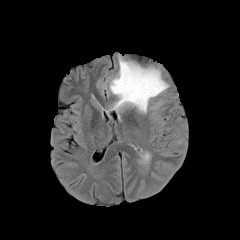
FLAIR magnetic resonance.
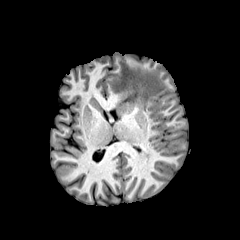
T1-weighted magnetic resonance.
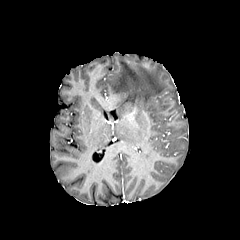
Post-contrast T1-weighted magnetic resonance.
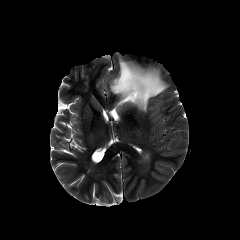
T2-weighted MRI.
peritumoral edema — {"x1": 110, "y1": 53, "x2": 168, "y2": 112}